FLAIR magnetic resonance.
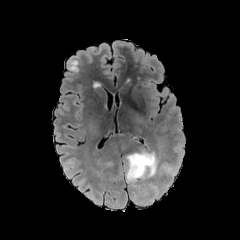
T1-weighted MR.
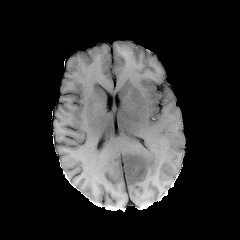
Post-contrast T1-weighted magnetic resonance.
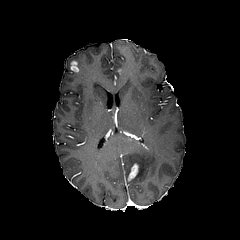
T2-weighted MR image.
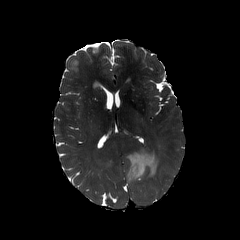
Axial slice; 240x240; Brain
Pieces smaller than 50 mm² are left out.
{"enhancing_tumor": ["[128, 163, 138, 181]", "[69, 61, 79, 71]"], "peritumoral_edema": ["[125, 149, 158, 185]"]}